Slice 45/155 | Brain
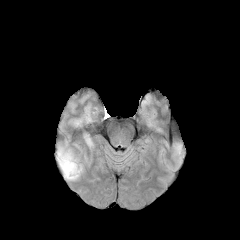
FLAIR MRI.
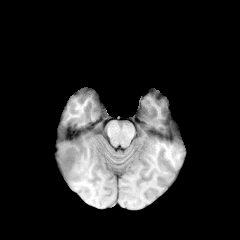
T1-weighted magnetic resonance.
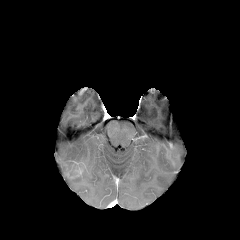
Post-contrast T1-weighted MRI of the same slice.
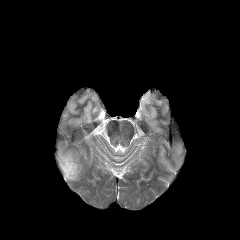
T2-weighted MR.
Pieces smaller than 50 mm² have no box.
The largest peritumoral edema region is at 57:148:82:180.